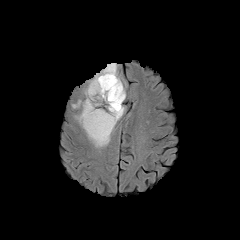
FLAIR MR image.
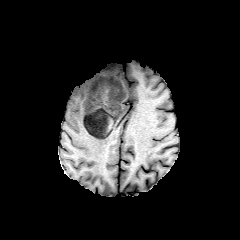
T1-weighted magnetic resonance.
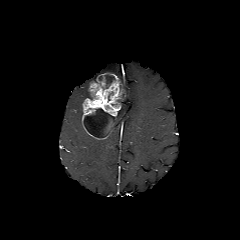
Same slice, post-contrast T1-weighted magnetic resonance.
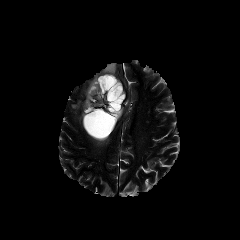
Same slice, T2-weighted MR image.
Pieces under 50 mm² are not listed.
The 3 largest peritumoral edema regions are located at bbox(72, 100, 83, 127); bbox(84, 63, 117, 99); bbox(87, 105, 125, 147). The largest enhancing tumor region is located at bbox(82, 72, 124, 139). The 2 largest necrotic tumor core regions are located at bbox(105, 75, 114, 88); bbox(84, 108, 115, 137).